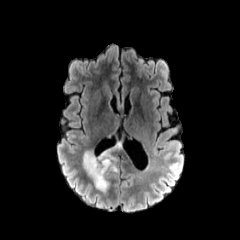
FLAIR magnetic resonance.
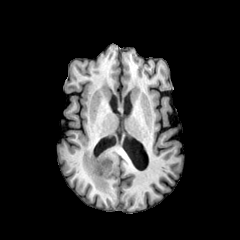
T1-weighted MR image.
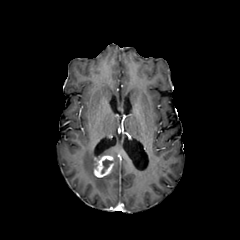
Post-contrast T1-weighted MR.
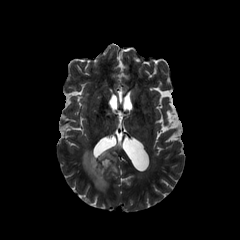
T2-weighted magnetic resonance of the same slice.
Brain.
The necrotic tumor core lies within box=[101, 159, 111, 173]. 2 peritumoral edema regions are bounded by box=[111, 156, 117, 172]; box=[83, 143, 120, 192]. The enhancing tumor is located at box=[94, 155, 113, 177].